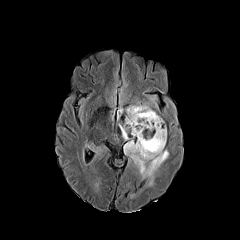
FLAIR MRI.
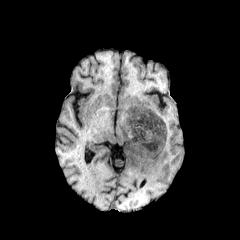
T1-weighted MR image of the same slice.
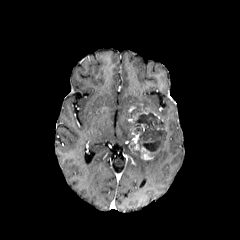
Post-contrast T1-weighted magnetic resonance.
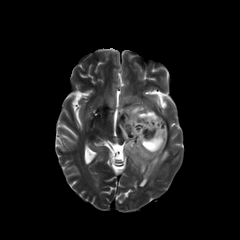
Same slice, T2-weighted magnetic resonance.
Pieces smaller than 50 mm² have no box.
<segmentation>
  <peritumoral_edema>x1=134 y1=101 x2=150 y2=109, x1=92 y1=177 x2=100 y2=191, x1=124 y1=129 x2=168 y2=187, x1=119 y1=105 x2=131 y2=140, x1=87 y1=142 x2=107 y2=160</peritumoral_edema>
  <enhancing_tumor>x1=128 y1=108 x2=160 y2=122, x1=130 y1=126 x2=159 y2=160</enhancing_tumor>
  <necrotic_tumor_core>x1=131 y1=112 x2=164 y2=151, x1=129 y1=108 x2=141 y2=117</necrotic_tumor_core>
</segmentation>